Axial view, Brain
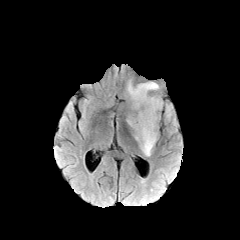
FLAIR MR image.
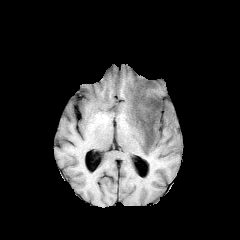
Same slice, T1-weighted magnetic resonance.
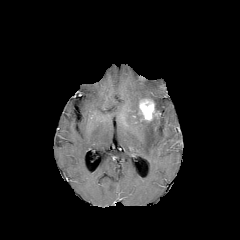
Post-contrast T1-weighted MRI.
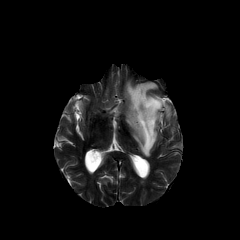
T2-weighted magnetic resonance of the same slice.
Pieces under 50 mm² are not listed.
peritumoral edema — region(126, 81, 163, 156); region(166, 104, 171, 119)
enhancing tumor — region(138, 98, 160, 122)